FLAIR MR.
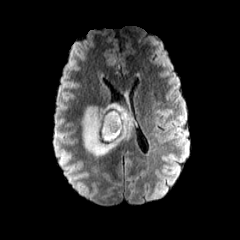
T1-weighted MR.
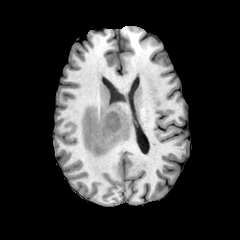
Post-contrast T1-weighted magnetic resonance.
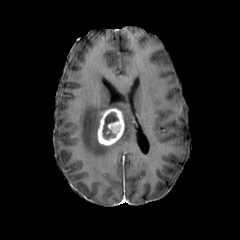
T2-weighted MR image.
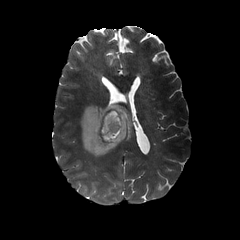
Axial plane. 240x240 px.
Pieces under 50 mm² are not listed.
{
  "peritumoral_edema": [
    "82:102:135:157"
  ],
  "necrotic_tumor_core": [
    "102:112:118:140"
  ],
  "enhancing_tumor": [
    "97:108:124:146"
  ]
}